Brain
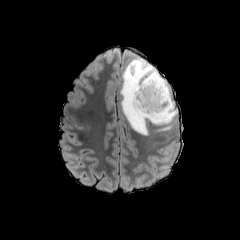
FLAIR magnetic resonance.
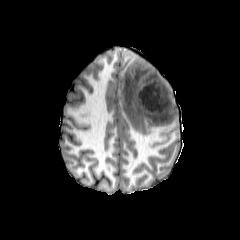
T1-weighted MR image of the same slice.
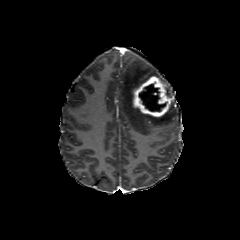
Same slice, post-contrast T1-weighted MRI.
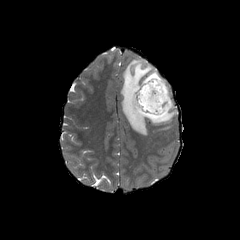
T2-weighted MRI of the same slice.
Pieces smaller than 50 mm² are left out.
• enhancing tumor: bbox(132, 75, 172, 117)
• necrotic tumor core: bbox(139, 83, 167, 111)
• peritumoral edema: bbox(120, 57, 176, 135)